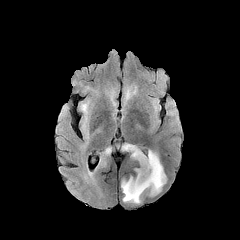
FLAIR MRI.
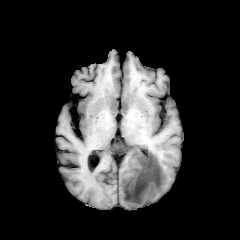
T1-weighted MR image.
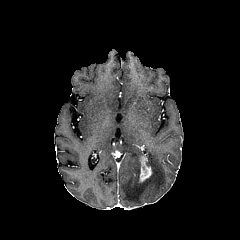
Same slice, post-contrast T1-weighted magnetic resonance.
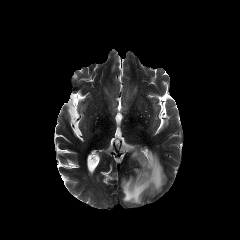
T2-weighted magnetic resonance of the same slice.
Brain; Axial slice
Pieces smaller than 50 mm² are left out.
The 3 largest peritumoral edema regions are located at {"x1": 121, "y1": 150, "x2": 166, "y2": 203}, {"x1": 122, "y1": 144, "x2": 144, "y2": 162}, {"x1": 80, "y1": 102, "x2": 87, "y2": 113}. The enhancing tumor is at {"x1": 139, "y1": 156, "x2": 151, "y2": 182}.